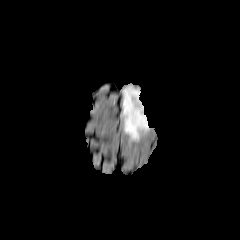
FLAIR MR.
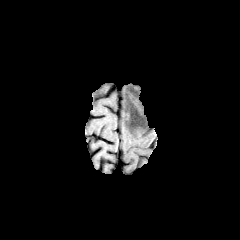
T1-weighted magnetic resonance.
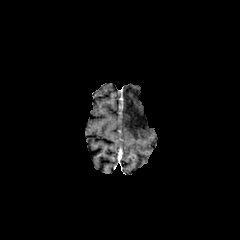
Post-contrast T1-weighted MR image.
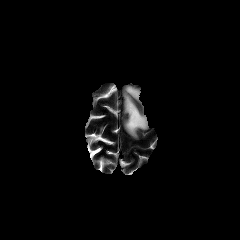
Same slice, T2-weighted MR image.
Head; 240x240 px
peritumoral edema — box=[123, 86, 148, 139]